Axial slice, Brain
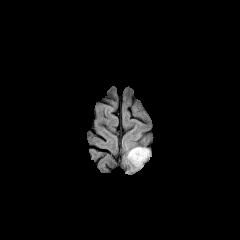
FLAIR magnetic resonance.
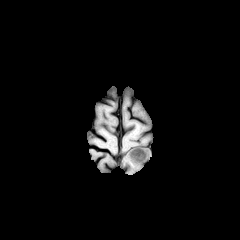
Same slice, T1-weighted MR.
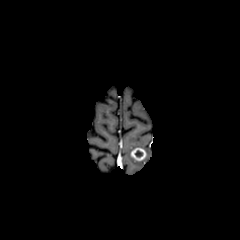
Post-contrast T1-weighted magnetic resonance.
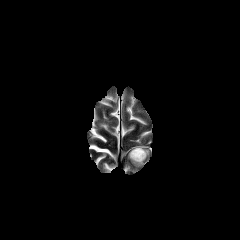
T2-weighted MR image of the same slice.
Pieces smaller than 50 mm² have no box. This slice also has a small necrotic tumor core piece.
enhancing tumor: [130,147,146,161]
peritumoral edema: [122,148,149,174]